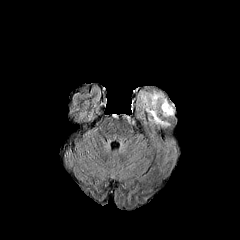
FLAIR MR.
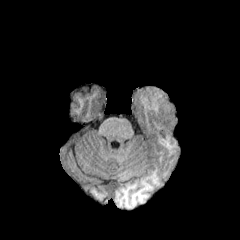
T1-weighted MR image.
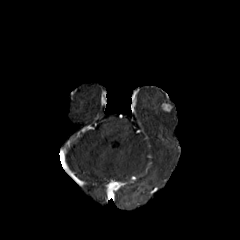
Post-contrast T1-weighted MR of the same slice.
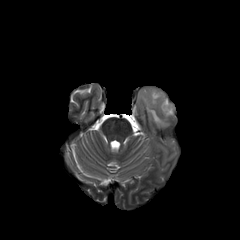
T2-weighted magnetic resonance.
enhancing tumor: (161, 102, 172, 111) | peritumoral edema: (160, 106, 173, 117), (139, 90, 169, 126)